FLAIR MR.
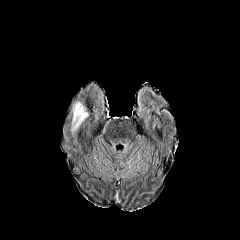
T1-weighted MR image.
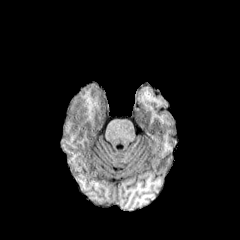
Post-contrast T1-weighted magnetic resonance.
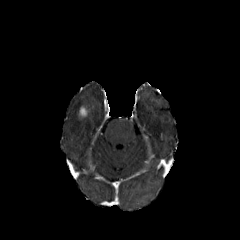
T2-weighted MR image.
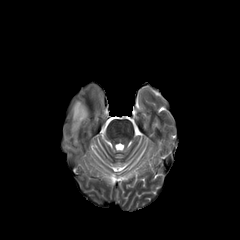
Axial slice | Brain
peritumoral edema — (71, 101, 88, 133)
enhancing tumor — (79, 106, 87, 117)